Axial view, Slice 116/155, Head
FLAIR MR.
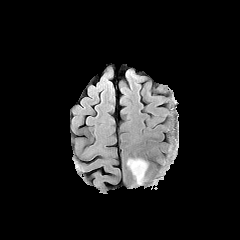
T1-weighted magnetic resonance.
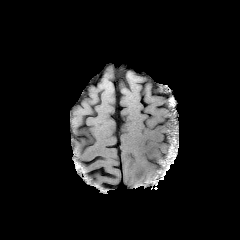
Post-contrast T1-weighted MR image.
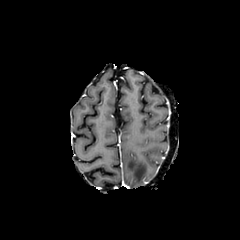
T2-weighted magnetic resonance.
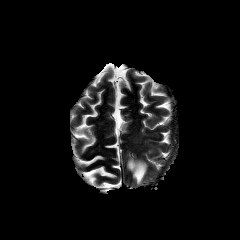
• peritumoral edema: l=127, t=159, r=147, b=184